Slice index 89 | Axial view
FLAIR MR.
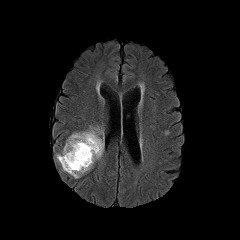
T1-weighted MR.
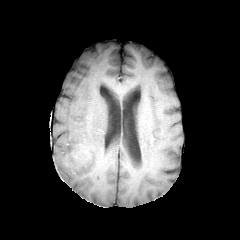
Post-contrast T1-weighted MR image.
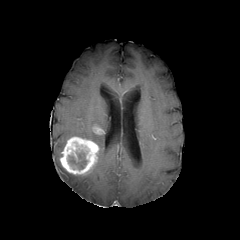
T2-weighted MRI.
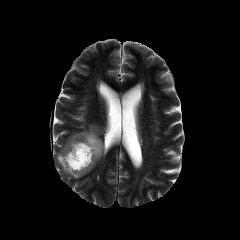
Annotated regions:
- enhancing tumor: 93, 127, 102, 133; 60, 136, 99, 174
- necrotic tumor core: 68, 151, 86, 169
- peritumoral edema: 56, 152, 83, 178; 67, 126, 104, 160